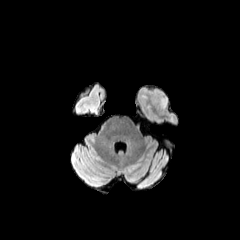
FLAIR MRI.
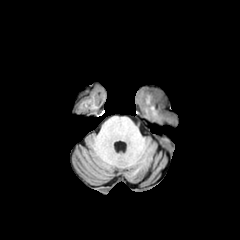
Same slice, T1-weighted magnetic resonance.
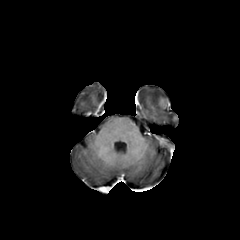
Post-contrast T1-weighted MRI of the same slice.
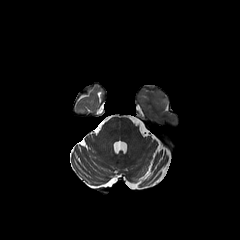
T2-weighted MR.
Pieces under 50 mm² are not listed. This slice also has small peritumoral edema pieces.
The enhancing tumor is at x1=158, y1=98, x2=168, y2=109.